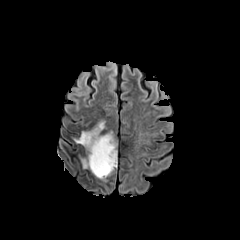
FLAIR MRI.
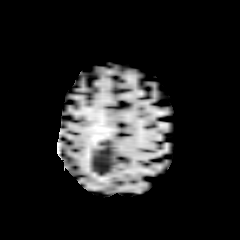
T1-weighted MR.
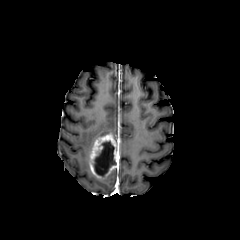
Post-contrast T1-weighted magnetic resonance.
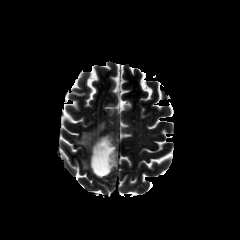
T2-weighted MR.
Head, Axial slice
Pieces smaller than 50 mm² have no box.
enhancing tumor = bbox=[89, 133, 118, 180]
peritumoral edema = bbox=[75, 121, 105, 168]
necrotic tumor core = bbox=[94, 141, 116, 176]